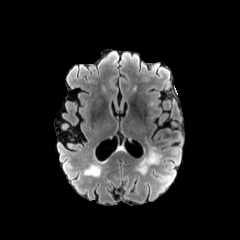
FLAIR MR.
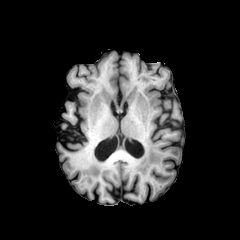
T1-weighted MRI.
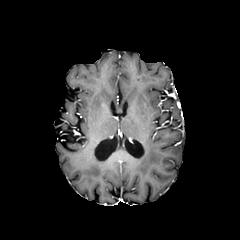
Post-contrast T1-weighted MRI.
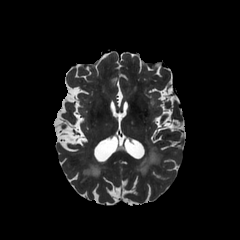
T2-weighted magnetic resonance.
240x240
Findings:
* peritumoral edema: bbox(138, 139, 161, 175)